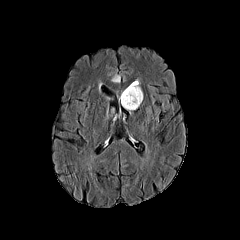
FLAIR MR image.
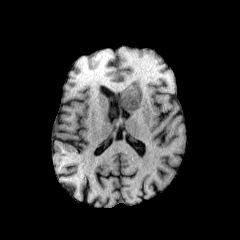
T1-weighted MR image.
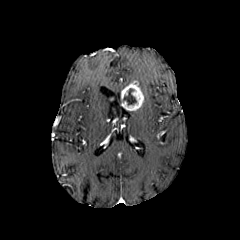
Post-contrast T1-weighted MR of the same slice.
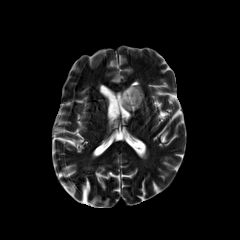
T2-weighted MR.
Axial plane | Brain
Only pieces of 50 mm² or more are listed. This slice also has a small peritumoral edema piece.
<segmentation>
  <enhancing_tumor>[121,83,143,111]</enhancing_tumor>
  <necrotic_tumor_core>[123,88,136,104]</necrotic_tumor_core>
</segmentation>